Axial slice; Slice 137 of 155
FLAIR magnetic resonance.
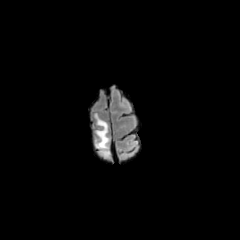
T1-weighted MR.
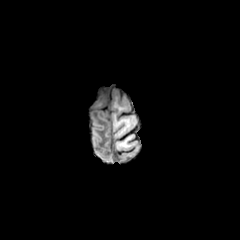
Post-contrast T1-weighted magnetic resonance.
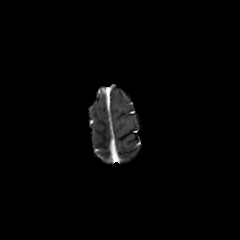
T2-weighted MR.
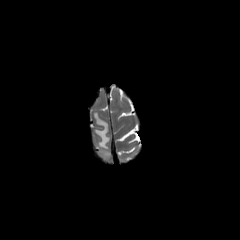
Segmented structures:
* peritumoral edema: box(94, 113, 110, 158)